Brain
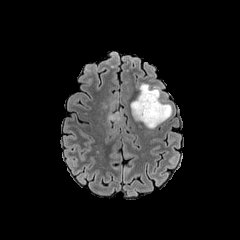
FLAIR magnetic resonance.
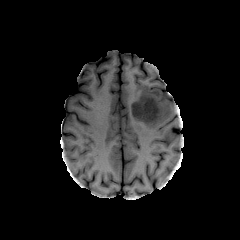
Same slice, T1-weighted magnetic resonance.
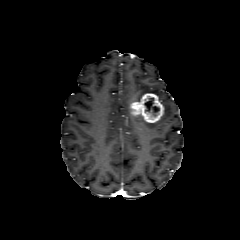
Post-contrast T1-weighted MRI of the same slice.
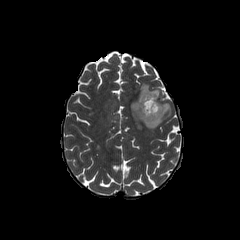
Same slice, T2-weighted MRI.
peritumoral edema: (x1=133, y1=83, x2=160, y2=101), (x1=133, y1=103, x2=171, y2=128)
necrotic tumor core: (x1=144, y1=98, x2=159, y2=116)
enhancing tumor: (x1=130, y1=93, x2=164, y2=122)